FLAIR MR.
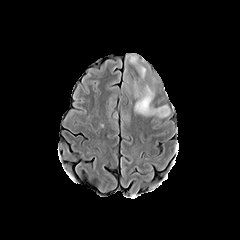
T1-weighted MR image.
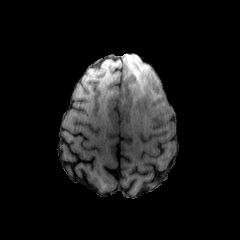
Post-contrast T1-weighted magnetic resonance.
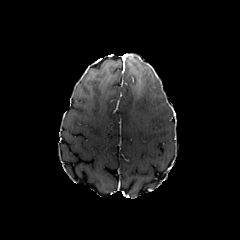
T2-weighted MRI.
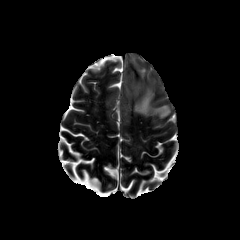
Axial slice; 240x240 px; Brain
Findings:
• peritumoral edema: 135, 93, 168, 116